FLAIR magnetic resonance.
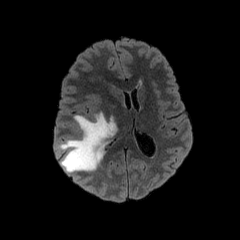
T1-weighted magnetic resonance.
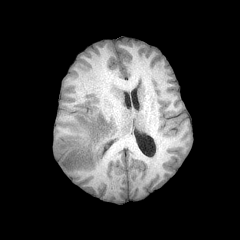
Post-contrast T1-weighted magnetic resonance.
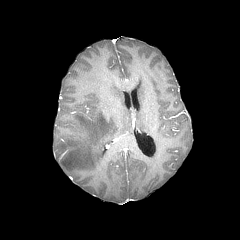
T2-weighted MR.
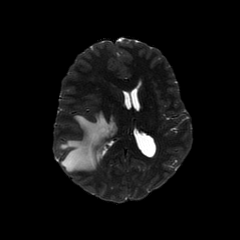
240x240 px
Segmented structures:
• peritumoral edema: <bbox>57, 112, 117, 172</bbox>